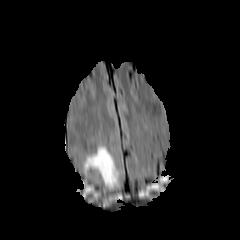
FLAIR magnetic resonance.
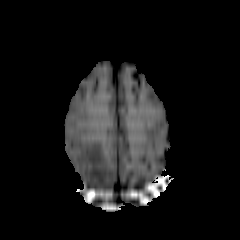
T1-weighted magnetic resonance.
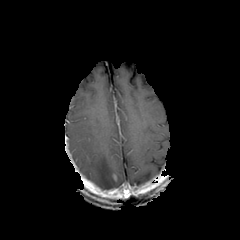
Post-contrast T1-weighted MRI of the same slice.
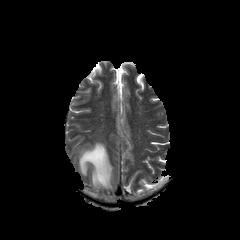
T2-weighted MR image of the same slice.
240x240.
peritumoral edema: bounding box 82 143 117 189